Image width 240 mm, 1.00 mm slice spacing, Slice 68/155
FLAIR MR.
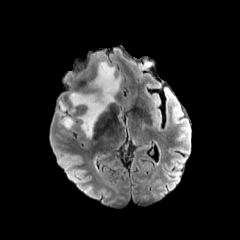
T1-weighted MR image.
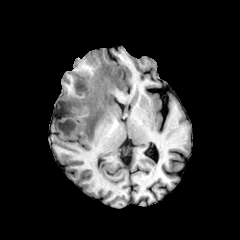
Post-contrast T1-weighted MR.
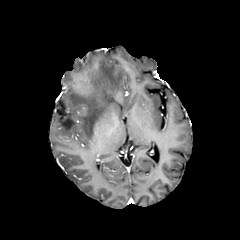
T2-weighted MR image.
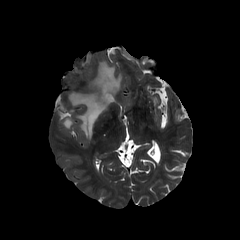
peritumoral edema: 69,61,121,138; 62,117,73,129; 59,102,65,115